FLAIR MRI.
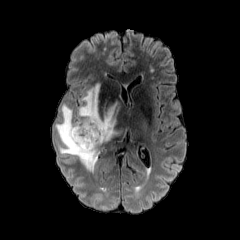
T1-weighted MR.
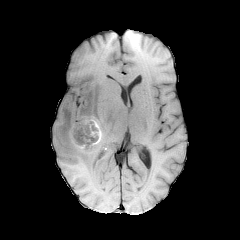
Post-contrast T1-weighted MR.
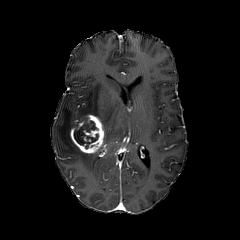
T2-weighted MR.
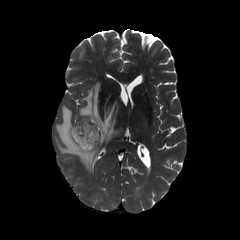
Image size 240x240; Axial plane; Head
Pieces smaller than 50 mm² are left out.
enhancing tumor — left=70, top=114, right=104, bottom=153
peritumoral edema — left=78, top=81, right=128, bottom=143; left=55, top=104, right=101, bottom=173
necrotic tumor core — left=74, top=119, right=98, bottom=149